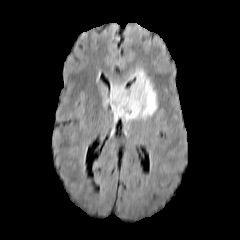
FLAIR magnetic resonance.
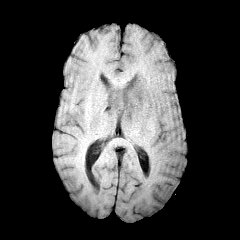
T1-weighted MR.
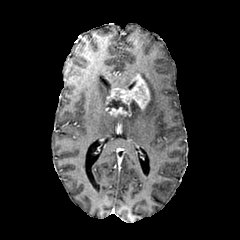
Post-contrast T1-weighted MR image of the same slice.
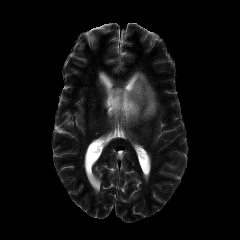
T2-weighted magnetic resonance.
Head. 240x240.
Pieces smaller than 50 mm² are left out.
The largest peritumoral edema region appears at [113,69,157,125]. The enhancing tumor is at [106,74,150,116]. The necrotic tumor core is at [109,99,128,112].